FLAIR MRI.
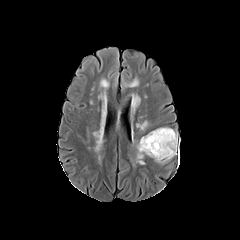
T1-weighted MR.
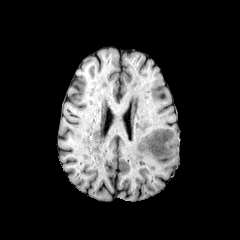
Post-contrast T1-weighted MR image.
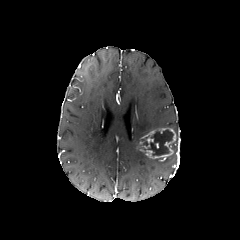
T2-weighted MR image.
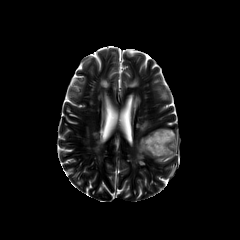
240x240 px; Brain
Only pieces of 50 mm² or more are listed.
{
  "necrotic_tumor_core": [
    "(x1=148, y1=129, x2=173, y2=155)"
  ],
  "peritumoral_edema": [
    "(x1=136, y1=144, x2=144, y2=164)",
    "(x1=154, y1=145, x2=177, y2=163)"
  ],
  "enhancing_tumor": [
    "(x1=139, y1=128, x2=176, y2=160)"
  ]
}